FLAIR MR.
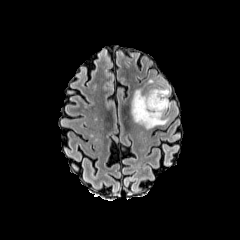
T1-weighted magnetic resonance.
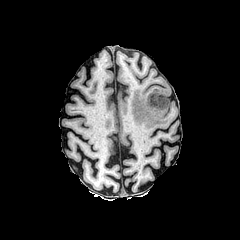
Post-contrast T1-weighted MR image.
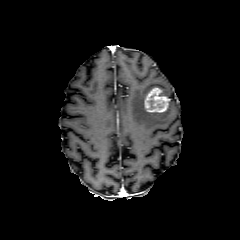
T2-weighted MRI.
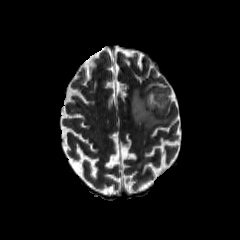
Axial slice, 240x240 px
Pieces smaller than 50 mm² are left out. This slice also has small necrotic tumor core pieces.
<segmentation>
  <peritumoral_edema>[160, 86, 169, 96], [131, 89, 168, 128]</peritumoral_edema>
  <enhancing_tumor>[144, 87, 169, 112]</enhancing_tumor>
</segmentation>